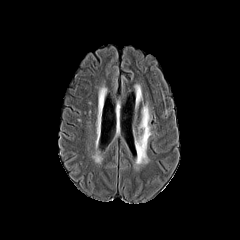
FLAIR magnetic resonance.
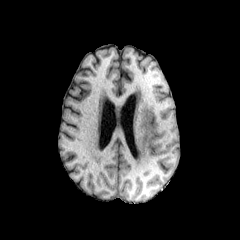
Same slice, T1-weighted MRI.
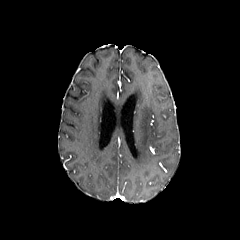
Post-contrast T1-weighted magnetic resonance.
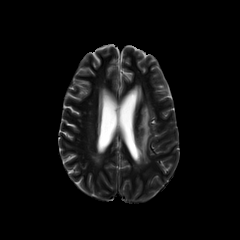
T2-weighted magnetic resonance of the same slice.
240x240 px, Brain
<segmentation>
  <peritumoral_edema>bbox=[137, 105, 151, 155]</peritumoral_edema>
</segmentation>